FLAIR MR image.
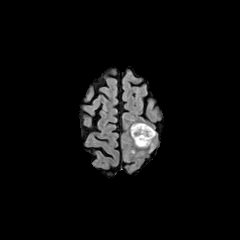
T1-weighted magnetic resonance.
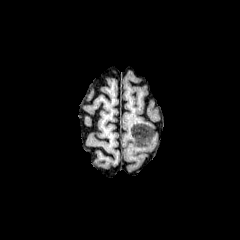
Post-contrast T1-weighted MR image.
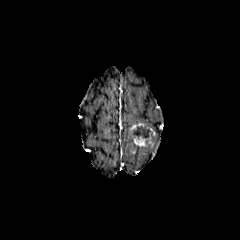
T2-weighted MRI.
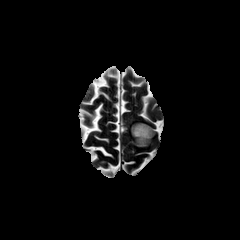
Brain, Axial slice
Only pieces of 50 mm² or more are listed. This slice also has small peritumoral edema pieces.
The necrotic tumor core appears at l=133, t=126, r=150, b=138. The largest enhancing tumor region lies within l=130, t=123, r=155, b=146.